FLAIR MRI.
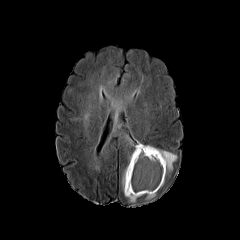
T1-weighted MR.
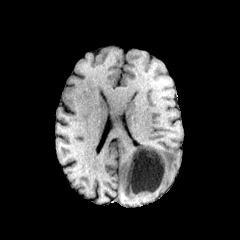
Post-contrast T1-weighted MRI.
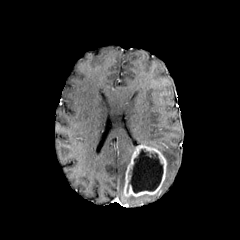
T2-weighted magnetic resonance.
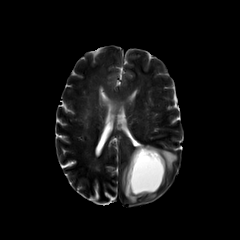
Axial plane. Head. 240x240 px.
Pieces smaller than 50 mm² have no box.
{"necrotic_tumor_core": ["<box>127,149,163,193</box>"], "peritumoral_edema": ["<box>110,96,124,115</box>", "<box>158,149,177,173</box>", "<box>101,126,135,163</box>", "<box>122,168,126,190</box>", "<box>127,196,138,202</box>"], "enhancing_tumor": ["<box>124,144,166,196</box>"]}